Slice index 81. 240x240 px.
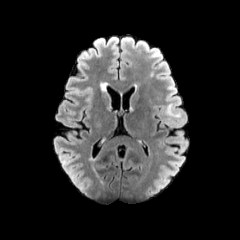
FLAIR MR.
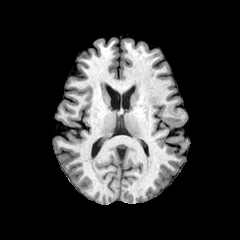
T1-weighted MR.
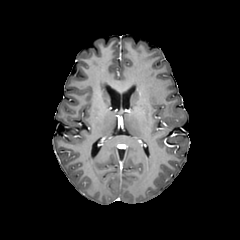
Post-contrast T1-weighted MRI of the same slice.
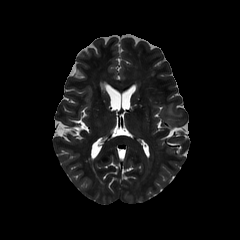
T2-weighted MR image.
{"peritumoral_edema": ["166 104 178 116"]}